FLAIR MR.
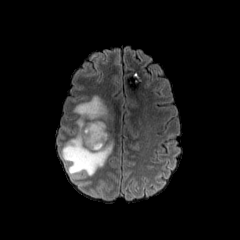
T1-weighted MRI.
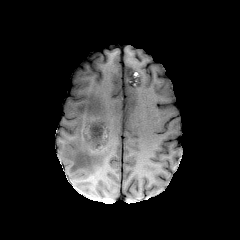
Post-contrast T1-weighted MRI.
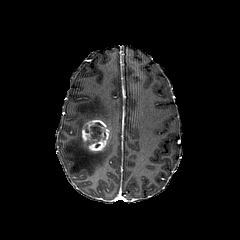
T2-weighted MR image.
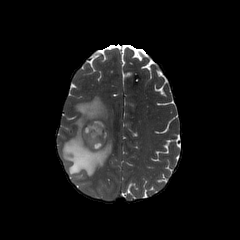
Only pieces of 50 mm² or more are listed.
necrotic tumor core: (89,122,102,142)
peritumoral edema: (62,95,117,175)
enhancing tumor: (82,119,109,151)